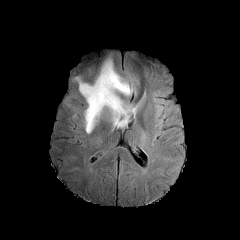
FLAIR magnetic resonance.
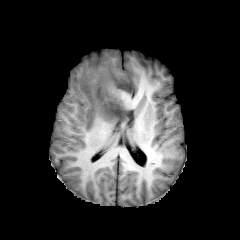
T1-weighted MR of the same slice.
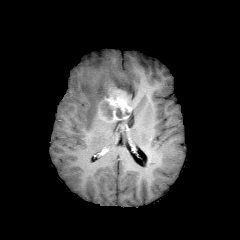
Post-contrast T1-weighted MR of the same slice.
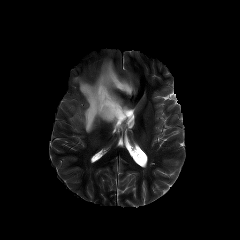
T2-weighted MRI.
Brain; 240x240 px; Axial slice
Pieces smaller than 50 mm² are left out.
peritumoral edema = 109,117,129,127; 75,59,133,133; 127,103,137,115
enhancing tumor = 98,90,132,121
necrotic tumor core = 116,108,123,118; 101,103,112,119